FLAIR MR image.
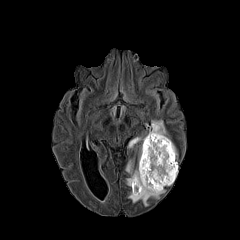
T1-weighted MR image.
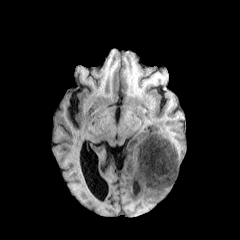
Post-contrast T1-weighted MRI.
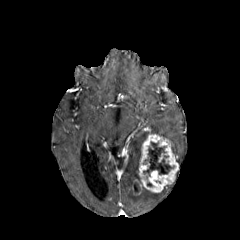
T2-weighted MRI.
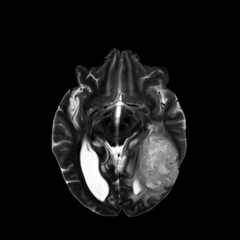
Axial plane.
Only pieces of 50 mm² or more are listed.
necrotic tumor core: bounding box bbox=[143, 141, 174, 175]
enhancing tumor: bounding box bbox=[134, 134, 178, 194]
peritumoral edema: bounding box bbox=[126, 160, 165, 206]; bbox=[128, 120, 177, 155]